FLAIR magnetic resonance.
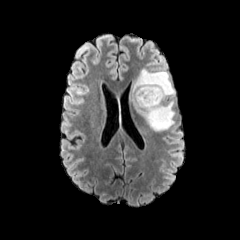
T1-weighted magnetic resonance.
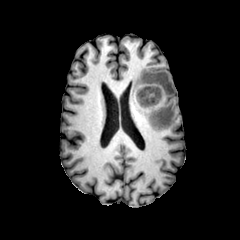
Post-contrast T1-weighted MR image.
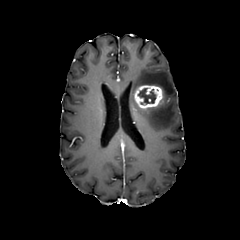
T2-weighted MRI.
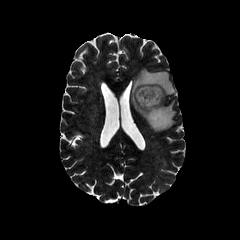
Image size 240x240
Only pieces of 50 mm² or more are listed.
necrotic tumor core — [137,87,156,105]
enhancing tumor — [134,85,163,108]
peritumoral edema — [131,68,175,131]